FLAIR MR.
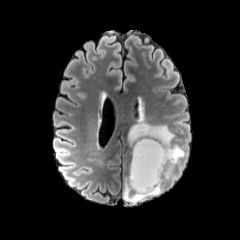
T1-weighted MRI.
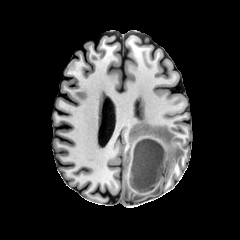
Post-contrast T1-weighted MR image.
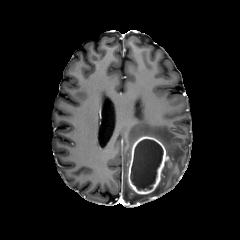
T2-weighted MR.
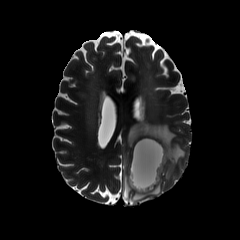
Head
{
  "peritumoral_edema": [
    "[123, 119, 185, 203]"
  ],
  "necrotic_tumor_core": [
    "[130, 139, 163, 190]"
  ],
  "enhancing_tumor": [
    "[128, 136, 170, 194]"
  ]
}